FLAIR MR image.
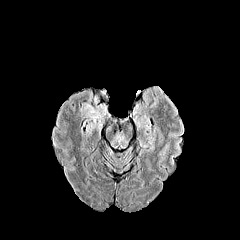
T1-weighted MR.
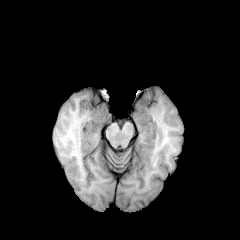
Post-contrast T1-weighted magnetic resonance.
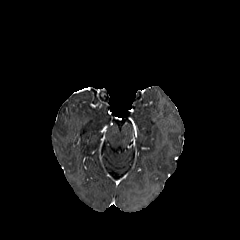
T2-weighted MR.
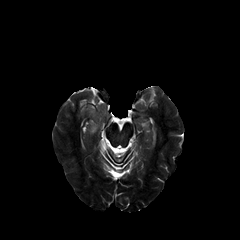
240x240. Brain. Axial slice.
{"peritumoral_edema": [{"x1": 88, "y1": 110, "x2": 101, "y2": 124}]}